Slice 57/155 | Axial view | Image width 240 mm, 1.00 mm slice spacing
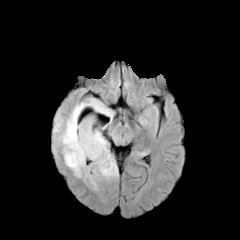
FLAIR magnetic resonance.
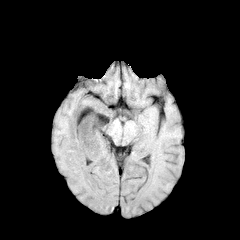
T1-weighted MR image.
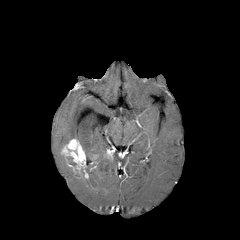
Same slice, post-contrast T1-weighted magnetic resonance.
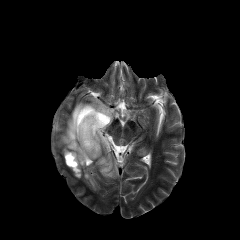
T2-weighted MRI of the same slice.
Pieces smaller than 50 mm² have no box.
enhancing tumor: bounding box x1=61, y1=138, x2=88, y2=178; x1=105, y1=148, x2=112, y2=159
necrotic tumor core: bounding box x1=66, y1=156, x2=76, y2=166
peritumoral edema: bounding box x1=57, y1=98, x2=117, y2=189; x1=54, y1=117, x2=62, y2=132